FLAIR MRI.
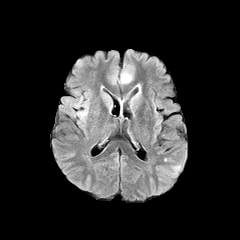
T1-weighted MR.
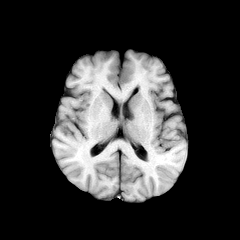
Post-contrast T1-weighted MR.
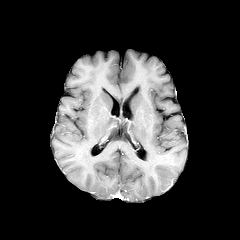
T2-weighted MR image.
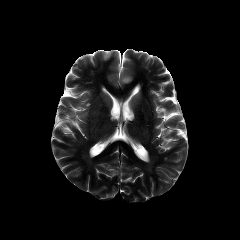
Axial slice
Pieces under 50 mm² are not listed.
The largest peritumoral edema region is located at <box>121,73,131,83</box>.